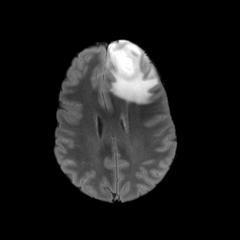
FLAIR magnetic resonance.
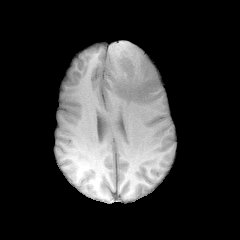
T1-weighted MRI of the same slice.
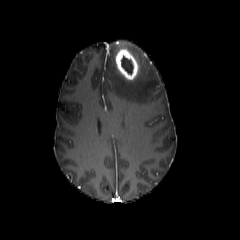
Same slice, post-contrast T1-weighted MR.
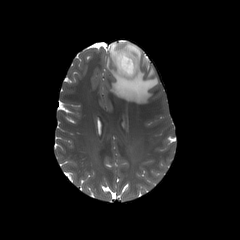
T2-weighted magnetic resonance of the same slice.
Head. Axial view.
enhancing tumor: x1=115, y1=47, x2=139, y2=81 | necrotic tumor core: x1=121, y1=56, x2=133, y2=74 | peritumoral edema: x1=105, y1=40, x2=158, y2=103